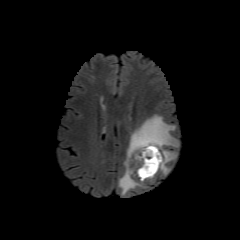
FLAIR magnetic resonance.
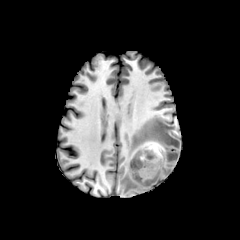
T1-weighted MR of the same slice.
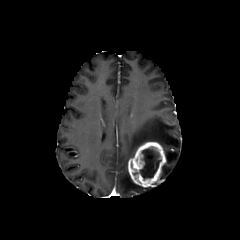
Same slice, post-contrast T1-weighted MR.
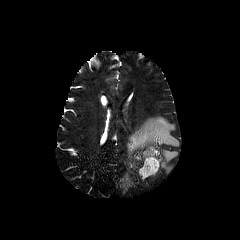
Same slice, T2-weighted MRI.
Head
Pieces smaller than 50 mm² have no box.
The enhancing tumor is bounded by rect(128, 142, 166, 187). The largest necrotic tumor core region is bounded by rect(140, 147, 160, 179). 2 peritumoral edema regions are located at rect(119, 115, 179, 195); rect(161, 149, 177, 174).